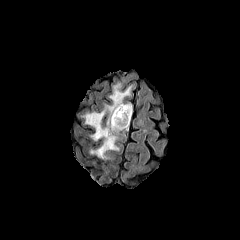
FLAIR MR image.
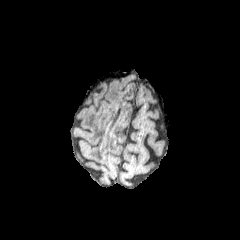
T1-weighted MRI.
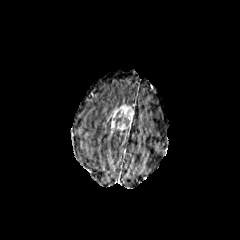
Post-contrast T1-weighted magnetic resonance of the same slice.
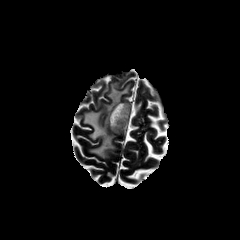
T2-weighted MR image.
240x240 px. Brain.
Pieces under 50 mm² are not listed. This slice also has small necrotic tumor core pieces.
enhancing tumor at box=[108, 104, 133, 134]
peritumoral edema at box=[82, 83, 131, 159]